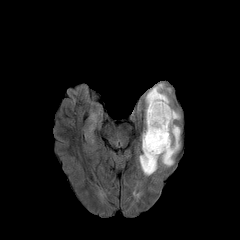
FLAIR MRI.
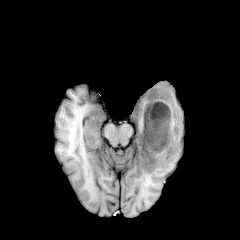
Same slice, T1-weighted magnetic resonance.
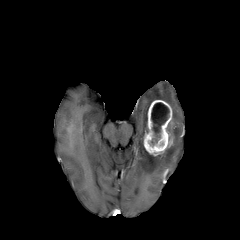
Post-contrast T1-weighted MR image.
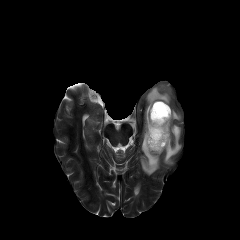
Same slice, T2-weighted MR image.
Head.
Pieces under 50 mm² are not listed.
* necrotic tumor core: (151, 102, 169, 137)
* enhancing tumor: (143, 100, 172, 156)
* peritumoral edema: (139, 83, 180, 175)